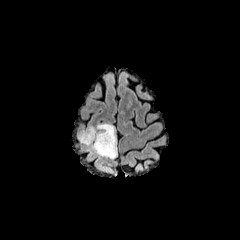
FLAIR MR image.
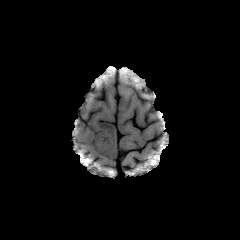
Same slice, T1-weighted MR image.
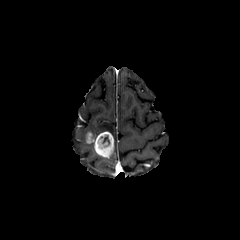
Post-contrast T1-weighted MRI.
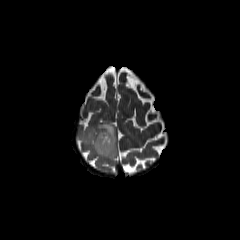
T2-weighted MR image.
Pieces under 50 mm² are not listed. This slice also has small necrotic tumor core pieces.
<segmentation>
  <peritumoral_edema><bbox>78, 123, 116, 159</bbox></peritumoral_edema>
  <enhancing_tumor><bbox>86, 131, 114, 157</bbox></enhancing_tumor>
</segmentation>